FLAIR magnetic resonance.
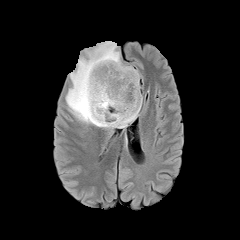
T1-weighted MRI.
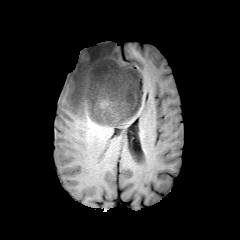
Post-contrast T1-weighted MR image.
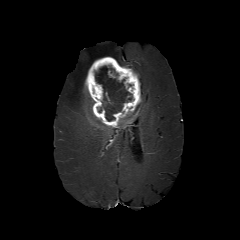
T2-weighted magnetic resonance.
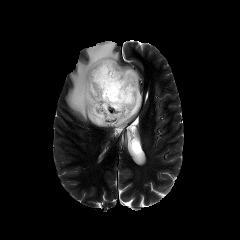
Brain
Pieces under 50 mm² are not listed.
enhancing tumor: region(85, 56, 141, 127) | peritumoral edema: region(65, 41, 137, 128) | necrotic tumor core: region(95, 66, 132, 121)